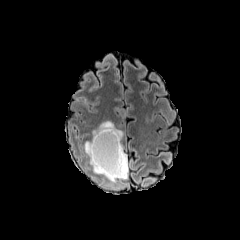
FLAIR magnetic resonance.
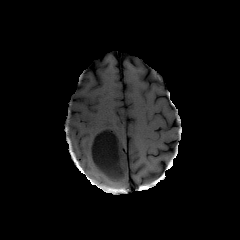
T1-weighted MR image.
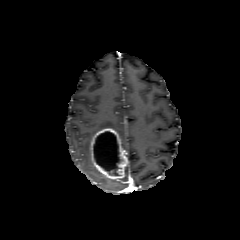
Post-contrast T1-weighted MR.
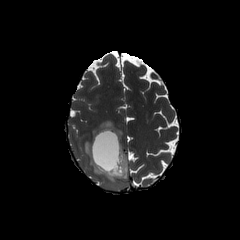
T2-weighted magnetic resonance.
Head.
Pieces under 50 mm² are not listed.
The 2 largest peritumoral edema regions are bounded by [84, 139, 128, 182], [92, 121, 122, 140]. The necrotic tumor core is at [93, 131, 120, 175]. The enhancing tumor is bounded by [90, 128, 128, 180].